FLAIR magnetic resonance.
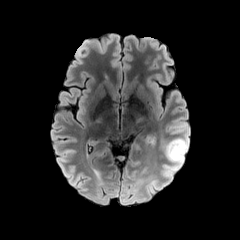
T1-weighted MRI.
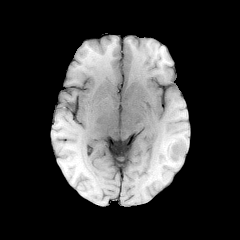
Post-contrast T1-weighted MR.
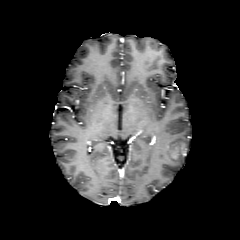
T2-weighted magnetic resonance.
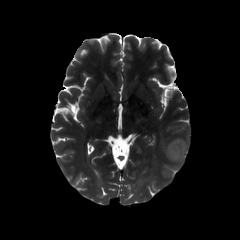
Head; 240x240 px
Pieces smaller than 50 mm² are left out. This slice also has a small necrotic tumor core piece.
The enhancing tumor appears at box=[169, 140, 186, 160]. The peritumoral edema is located at box=[162, 132, 189, 176].